FLAIR MRI.
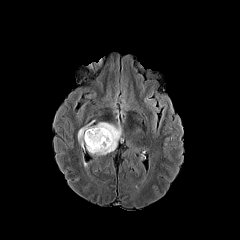
T1-weighted magnetic resonance.
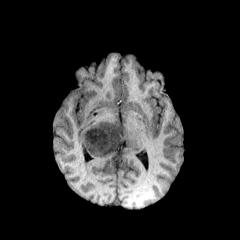
Post-contrast T1-weighted MR image.
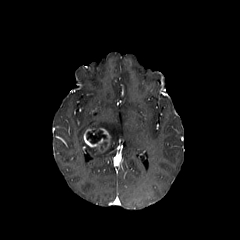
T2-weighted magnetic resonance.
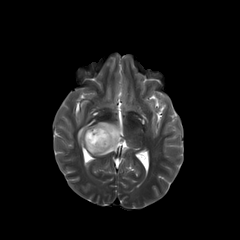
240x240
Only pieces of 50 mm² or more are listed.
The peritumoral edema appears at 77,120,122,155. The largest necrotic tumor core region appears at 86,129,107,143. The largest enhancing tumor region appears at 83,128,110,152.